FLAIR MR.
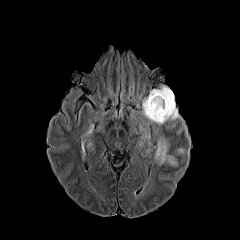
T1-weighted magnetic resonance.
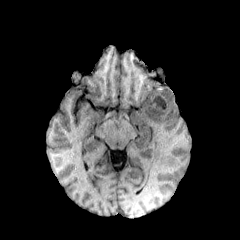
Post-contrast T1-weighted MR.
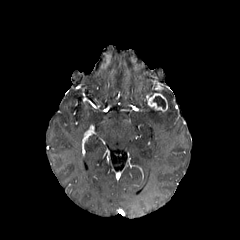
T2-weighted MR.
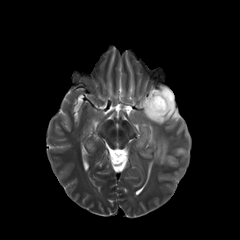
Brain.
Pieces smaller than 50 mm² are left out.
The enhancing tumor is bounded by left=147, top=93, right=167, bottom=111. The 2 largest peritumoral edema regions appear at left=155, top=138, right=177, bottom=165; left=142, top=86, right=179, bottom=124. The necrotic tumor core is bounded by left=153, top=96, right=165, bottom=109.